FLAIR MRI.
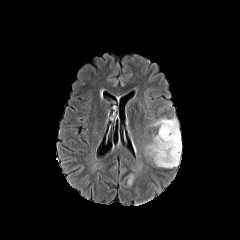
T1-weighted MR image.
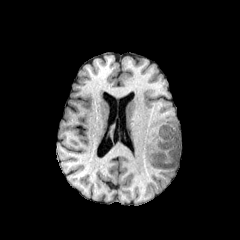
Post-contrast T1-weighted MR image.
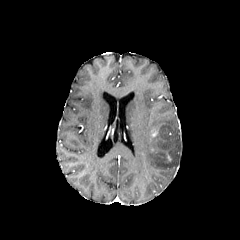
T2-weighted MR image.
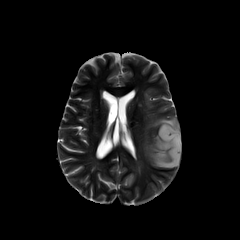
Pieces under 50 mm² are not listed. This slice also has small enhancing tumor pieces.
peritumoral edema: [127,178,134,187], [143,116,181,168]